FLAIR MR image.
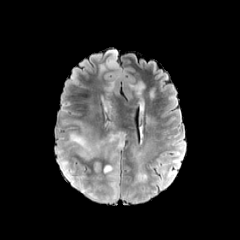
T1-weighted magnetic resonance.
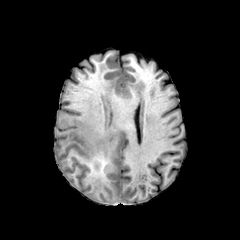
Post-contrast T1-weighted MRI.
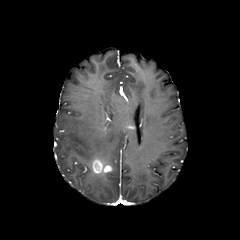
T2-weighted MR image.
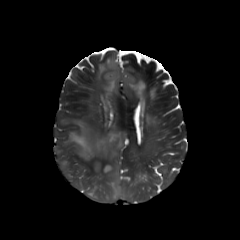
Brain
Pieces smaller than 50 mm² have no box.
{
  "peritumoral_edema": [
    "region(67, 120, 125, 160)",
    "region(59, 160, 72, 180)",
    "region(104, 163, 119, 201)",
    "region(106, 80, 114, 92)",
    "region(129, 82, 144, 96)",
    "region(137, 173, 146, 181)"
  ],
  "enhancing_tumor": [
    "region(92, 159, 111, 173)"
  ]
}